FLAIR MRI.
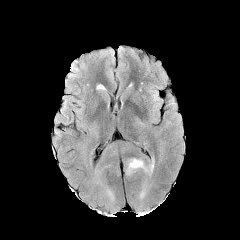
T1-weighted magnetic resonance.
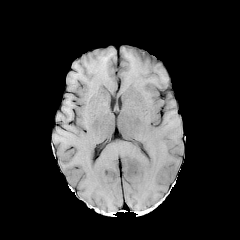
Post-contrast T1-weighted MR.
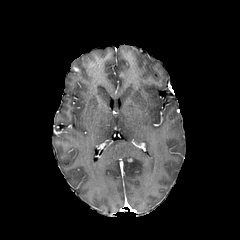
T2-weighted MRI.
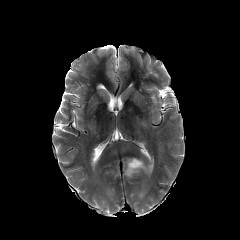
Axial view
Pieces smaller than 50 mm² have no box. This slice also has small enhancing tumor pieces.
The peritumoral edema is at (126,158,153,176).